FLAIR MR.
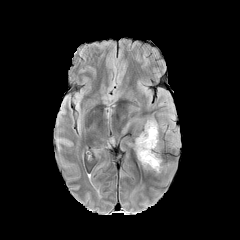
T1-weighted magnetic resonance.
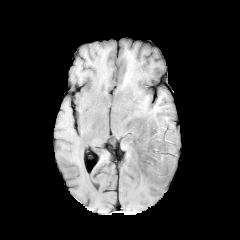
Post-contrast T1-weighted MRI.
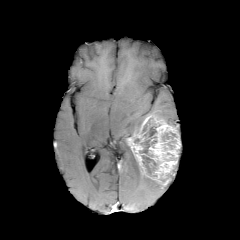
T2-weighted MR.
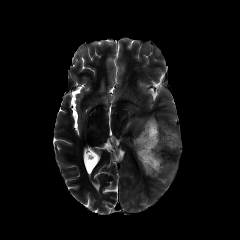
Image size 240x240 | Brain
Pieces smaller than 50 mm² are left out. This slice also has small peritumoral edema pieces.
Findings:
- necrotic tumor core: [x1=162, y1=132, x2=175, y2=141], [x1=142, y1=155, x2=157, y2=174], [x1=140, y1=126, x2=156, y2=154]
- enhancing tumor: [x1=128, y1=116, x2=180, y2=184]